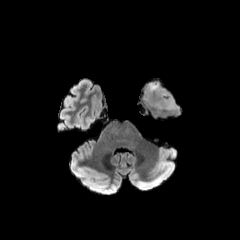
FLAIR MR.
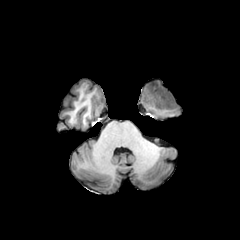
Same slice, T1-weighted magnetic resonance.
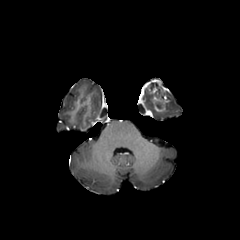
Post-contrast T1-weighted MR of the same slice.
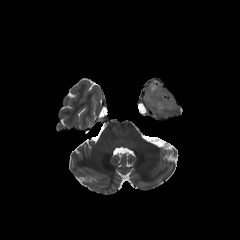
T2-weighted magnetic resonance.
Image size 240x240 | Brain | Axial plane
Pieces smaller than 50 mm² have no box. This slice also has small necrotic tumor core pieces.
<segmentation>
  <peritumoral_edema>165,93,177,110; 143,89,154,109</peritumoral_edema>
  <enhancing_tumor>144,79,168,111</enhancing_tumor>
</segmentation>